FLAIR MR.
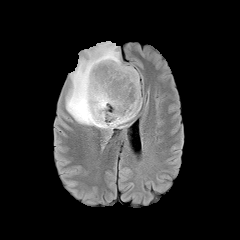
T1-weighted MRI.
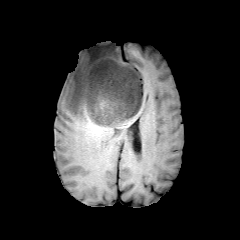
Post-contrast T1-weighted magnetic resonance.
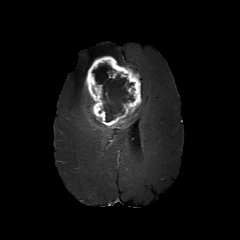
T2-weighted MR.
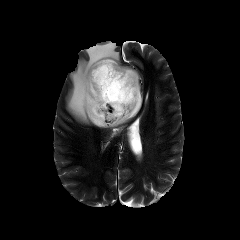
Brain | Axial slice
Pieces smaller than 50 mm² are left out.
Findings:
* enhancing tumor: box(85, 56, 141, 127)
* necrotic tumor core: box(93, 63, 134, 121)
* peritumoral edema: box(118, 103, 141, 128); box(66, 41, 123, 130)